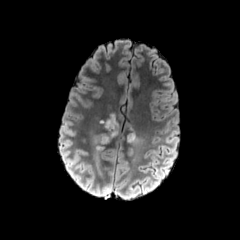
FLAIR magnetic resonance.
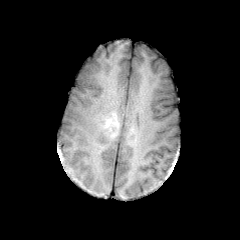
Same slice, T1-weighted MR.
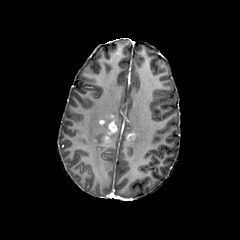
Same slice, post-contrast T1-weighted MR.
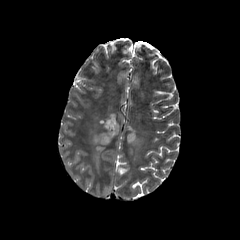
T2-weighted MR.
Head
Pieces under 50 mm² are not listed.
enhancing tumor: [127,132,135,140], [99,115,118,144]
peritumoral edema: [90,132,108,178], [127,136,147,156]